Slice 37 of 155 | Brain
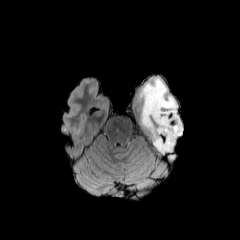
FLAIR magnetic resonance.
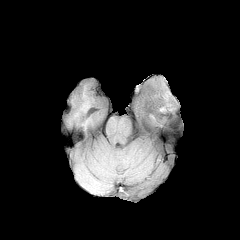
Same slice, T1-weighted MR.
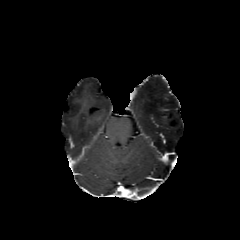
Post-contrast T1-weighted MR of the same slice.
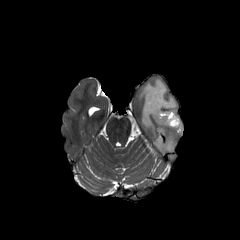
Same slice, T2-weighted magnetic resonance.
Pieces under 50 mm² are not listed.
peritumoral edema: <bbox>139, 78, 182, 152</bbox>